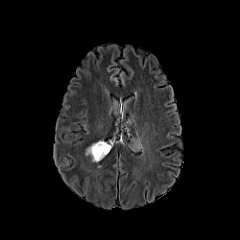
FLAIR MR.
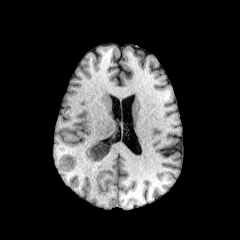
Same slice, T1-weighted MR image.
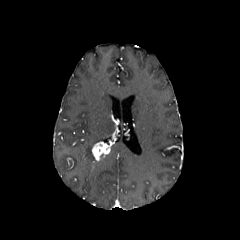
Same slice, post-contrast T1-weighted magnetic resonance.
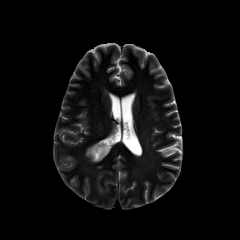
T2-weighted MR image of the same slice.
240x240 px, Brain, Axial view
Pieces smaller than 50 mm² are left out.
The enhancing tumor lies within l=92, t=142, r=110, b=160. The largest peritumoral edema region is at l=85, t=143, r=98, b=162.